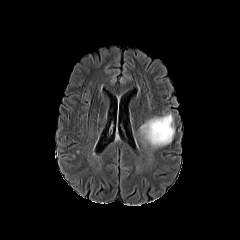
FLAIR MRI.
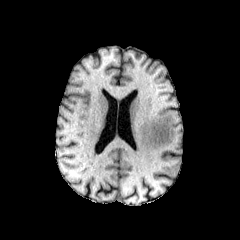
T1-weighted magnetic resonance of the same slice.
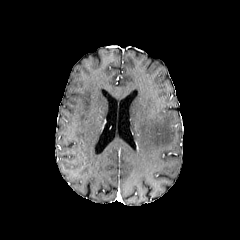
Post-contrast T1-weighted MR.
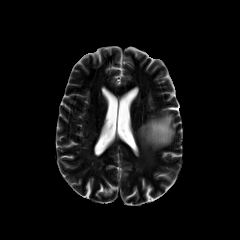
T2-weighted MRI.
Axial slice
peritumoral edema: (140, 113, 174, 148)